Image size 240x240, Axial slice, Brain
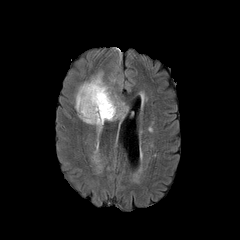
FLAIR MRI.
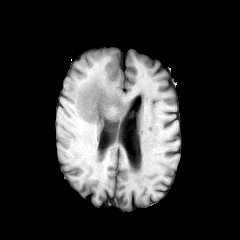
T1-weighted MRI.
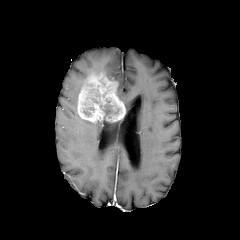
Post-contrast T1-weighted MR.
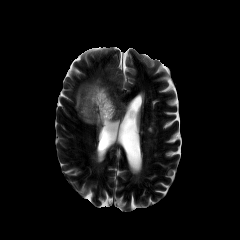
T2-weighted MRI.
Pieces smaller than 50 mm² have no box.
The 2 largest peritumoral edema regions are bounded by bbox(82, 119, 103, 125); bbox(75, 82, 85, 109). The largest necrotic tumor core region is at bbox(103, 101, 118, 119). The enhancing tumor lies within bbox(77, 73, 125, 122).